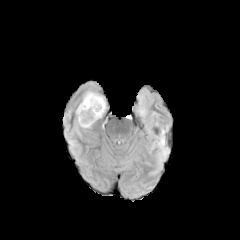
FLAIR MR.
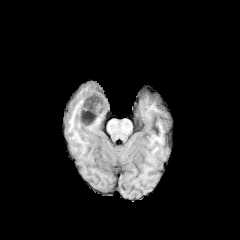
T1-weighted MR.
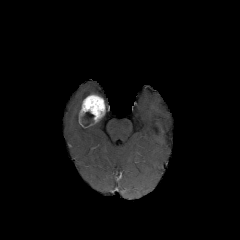
Post-contrast T1-weighted magnetic resonance of the same slice.
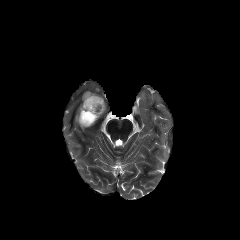
T2-weighted MR image of the same slice.
Axial slice
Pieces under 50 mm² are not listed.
The necrotic tumor core is bounded by 82, 112, 94, 126. The 2 largest peritumoral edema regions appear at 74, 103, 81, 130; 93, 92, 107, 110. The largest enhancing tumor region is located at 79, 94, 105, 126.